Axial plane | Brain
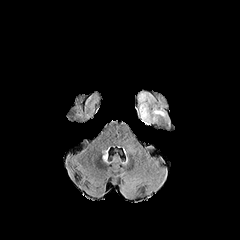
FLAIR magnetic resonance.
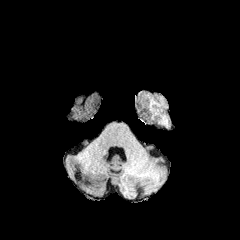
Same slice, T1-weighted MRI.
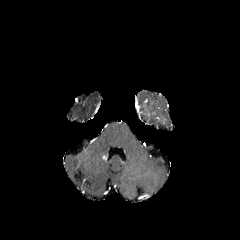
Post-contrast T1-weighted magnetic resonance.
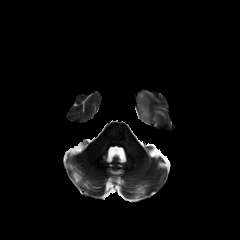
T2-weighted MR image.
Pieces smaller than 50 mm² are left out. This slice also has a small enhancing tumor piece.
<segmentation>
  <peritumoral_edema>box=[138, 93, 149, 122]</peritumoral_edema>
</segmentation>